Brain | Slice index 73
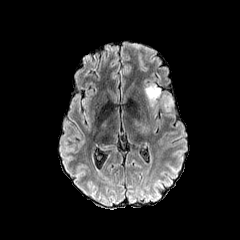
FLAIR MR image.
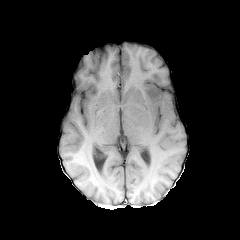
T1-weighted MR.
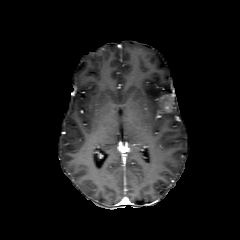
Post-contrast T1-weighted MR.
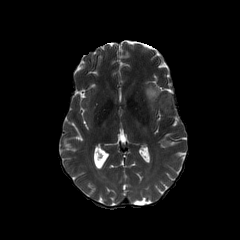
T2-weighted MR.
Segmented structures:
- enhancing tumor: <box>158,94,174,112</box>
- peritumoral edema: <box>144,85,160,107</box>